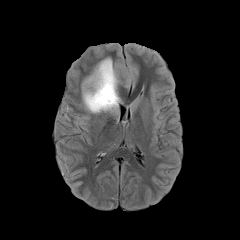
FLAIR MR.
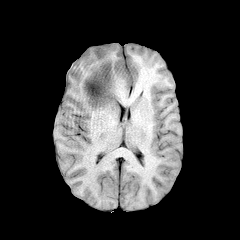
T1-weighted MR image.
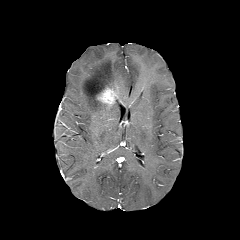
Same slice, post-contrast T1-weighted magnetic resonance.
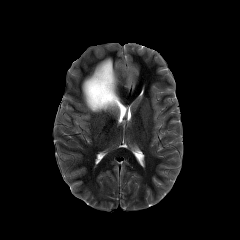
T2-weighted MRI.
Brain; 240x240
{"enhancing_tumor": ["<box>96,86,117,107</box>"], "peritumoral_edema": ["<box>82,58,120,113</box>"]}